240x240. Axial slice.
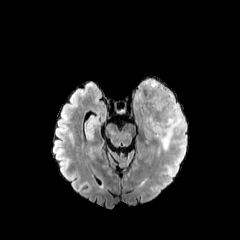
FLAIR MRI.
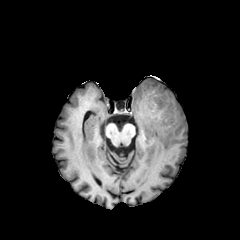
T1-weighted MR.
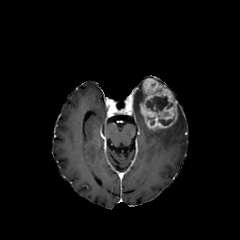
Same slice, post-contrast T1-weighted magnetic resonance.
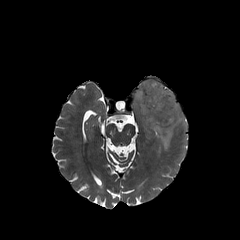
T2-weighted magnetic resonance.
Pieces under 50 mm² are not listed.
enhancing tumor = left=139, top=78, right=177, bottom=130
peritumoral edema = left=134, top=85, right=146, bottom=108; left=153, top=104, right=186, bottom=150
necrotic tumor core = left=159, top=119, right=172, bottom=125; left=146, top=96, right=172, bottom=111